FLAIR MR.
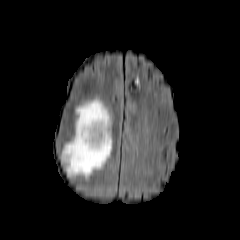
T1-weighted magnetic resonance.
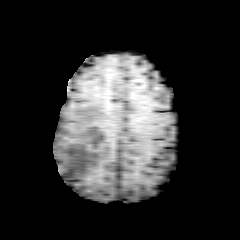
Post-contrast T1-weighted MR image.
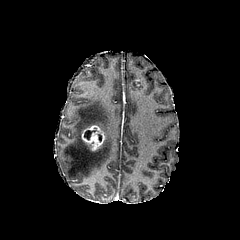
T2-weighted MRI.
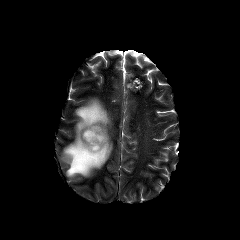
Axial view
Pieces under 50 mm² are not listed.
{
  "necrotic_tumor_core": [
    "84 130 95 139"
  ],
  "peritumoral_edema": [
    "62 98 111 177"
  ],
  "enhancing_tumor": [
    "81 125 105 150"
  ]
}